240x240 | Head | Axial view | Slice 84/155
FLAIR magnetic resonance.
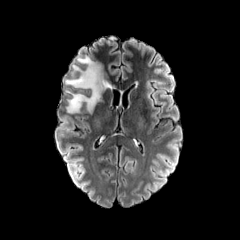
T1-weighted MRI.
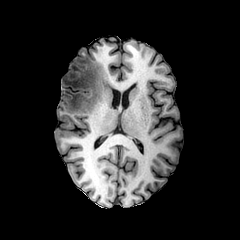
Post-contrast T1-weighted MR image.
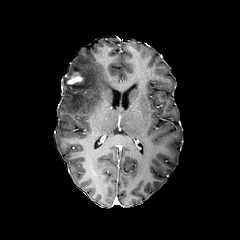
T2-weighted MRI.
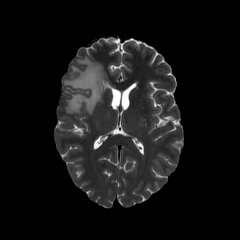
enhancing tumor — [x1=65, y1=72, x2=83, y2=84]
peritumoral edema — [x1=63, y1=56, x2=107, y2=113]